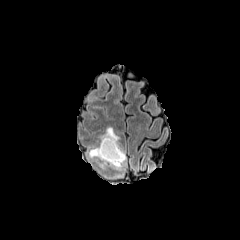
FLAIR MR.
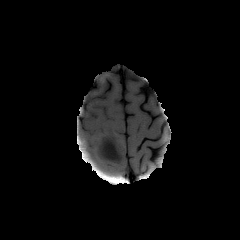
T1-weighted MR image of the same slice.
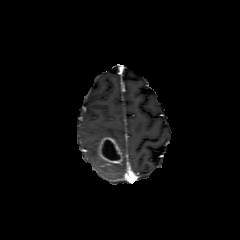
Same slice, post-contrast T1-weighted MRI.
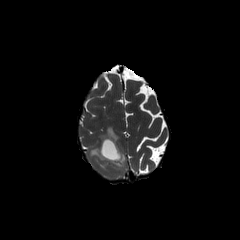
T2-weighted MR image of the same slice.
Axial slice
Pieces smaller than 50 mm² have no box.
enhancing tumor: [97,136,123,165] | peritumoral edema: [100,127,120,147], [88,146,98,159], [108,148,125,167] | necrotic tumor core: [102,140,120,160]